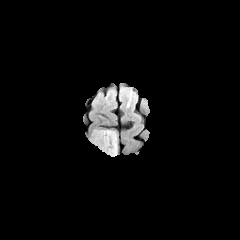
FLAIR MRI.
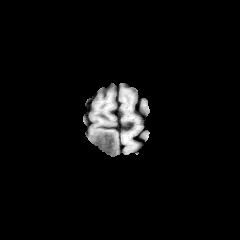
T1-weighted MR image of the same slice.
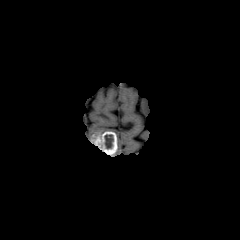
Post-contrast T1-weighted MR image of the same slice.
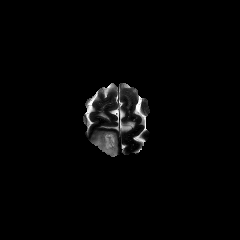
T2-weighted magnetic resonance of the same slice.
Image size 240x240. Axial plane.
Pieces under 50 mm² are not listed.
<segmentation>
  <necrotic_tumor_core>x1=104 y1=135 x2=113 y2=148</necrotic_tumor_core>
  <peritumoral_edema>x1=89 y1=131 x2=112 y2=141</peritumoral_edema>
  <enhancing_tumor>x1=91 y1=132 x2=117 y2=156</enhancing_tumor>
</segmentation>